Slice index 77; Axial plane
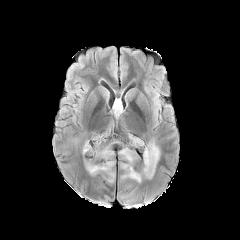
FLAIR MRI.
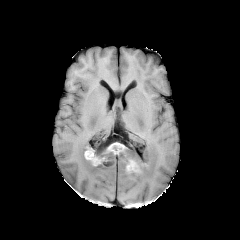
T1-weighted MRI.
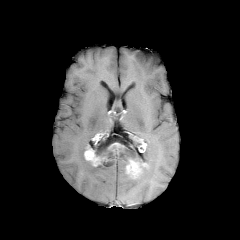
Same slice, post-contrast T1-weighted MR.
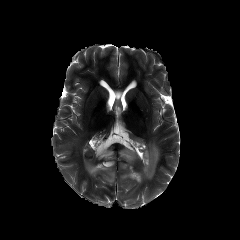
T2-weighted MR image.
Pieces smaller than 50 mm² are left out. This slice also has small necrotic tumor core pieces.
<segmentation>
  <peritumoral_edema>left=84, top=140, right=117, bottom=183; left=118, top=141, right=159, bottom=183</peritumoral_edema>
  <enhancing_tumor>left=126, top=160, right=141, bottom=178; left=84, top=144, right=105, bottom=166</enhancing_tumor>
</segmentation>